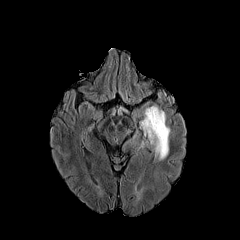
FLAIR MR image.
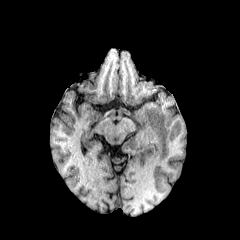
Same slice, T1-weighted magnetic resonance.
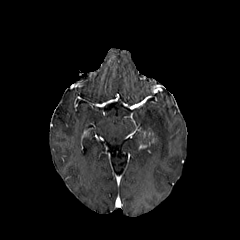
Post-contrast T1-weighted MR.
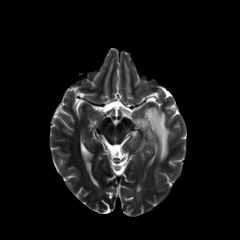
Same slice, T2-weighted MR.
Image size 240x240 | Head
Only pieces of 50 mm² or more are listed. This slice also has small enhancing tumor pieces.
peritumoral edema — 140:106:170:160